Slice 16/155; Brain; 240x240
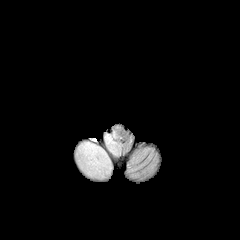
FLAIR magnetic resonance.
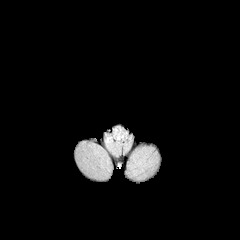
T1-weighted MR.
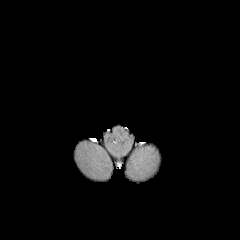
Post-contrast T1-weighted MR image.
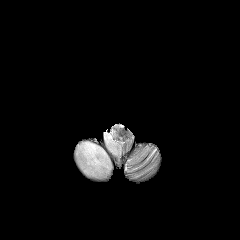
T2-weighted MR.
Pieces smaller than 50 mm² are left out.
<segmentation>
  <peritumoral_edema>[75, 141, 112, 179], [104, 130, 123, 156]</peritumoral_edema>
</segmentation>